FLAIR magnetic resonance.
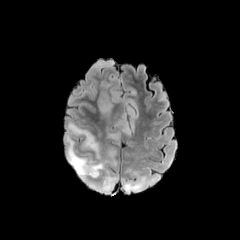
T1-weighted MR image.
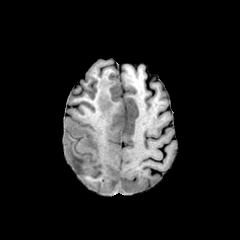
Post-contrast T1-weighted MRI.
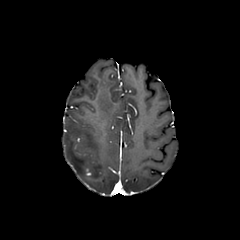
T2-weighted MRI.
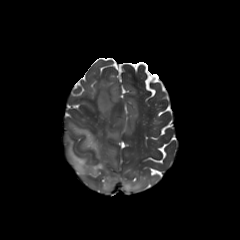
Brain
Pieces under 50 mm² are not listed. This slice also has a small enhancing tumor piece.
- peritumoral edema: <bbox>108, 132, 119, 139</bbox>, <bbox>120, 111, 128, 132</bbox>, <bbox>65, 121, 118, 193</bbox>, <bbox>127, 106, 137, 127</bbox>, <bbox>122, 176, 154, 192</bbox>, <bbox>99, 96, 112, 113</bbox>